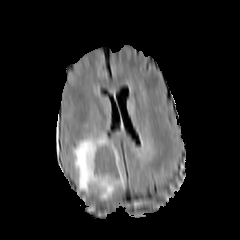
FLAIR MRI.
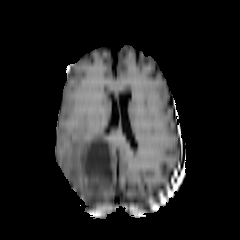
T1-weighted MR image of the same slice.
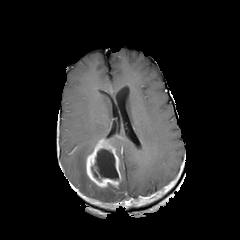
Post-contrast T1-weighted MRI.
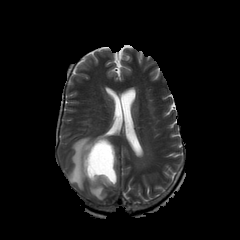
T2-weighted magnetic resonance of the same slice.
Image size 240x240. Head.
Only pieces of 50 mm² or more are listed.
peritumoral edema = [73,134,115,200], [119,161,124,187]
enhancing tumor = [86,138,121,188]
necrotic tumor core = [91,149,118,180]